Axial plane; Head; Image covers 240 mm x 240 mm
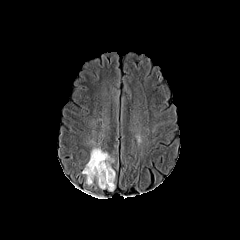
FLAIR MR.
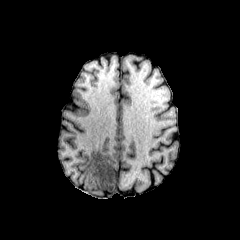
Same slice, T1-weighted MRI.
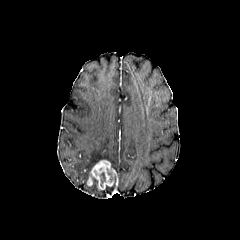
Post-contrast T1-weighted magnetic resonance.
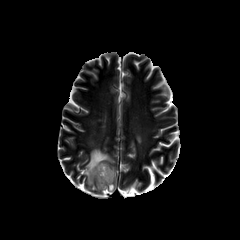
T2-weighted MR image.
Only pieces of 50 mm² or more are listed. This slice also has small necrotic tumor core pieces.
The enhancing tumor is at box(87, 160, 115, 189). The largest peritumoral edema region appears at box(83, 147, 113, 182).